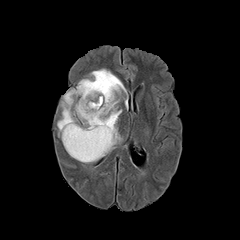
FLAIR MR image.
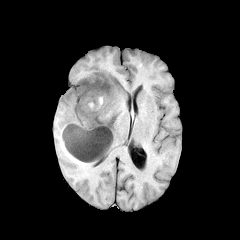
T1-weighted MR.
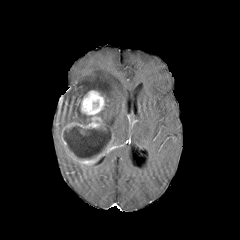
Post-contrast T1-weighted magnetic resonance of the same slice.
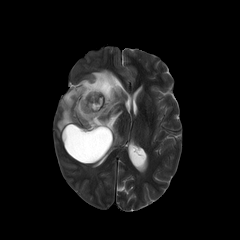
T2-weighted MRI.
Image size 240x240
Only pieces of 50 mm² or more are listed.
The necrotic tumor core appears at (64,129,110,158). The enhancing tumor is located at (62,90,113,164). The largest peritumoral edema region is located at (57,69,126,148).